Brain, Image size 240x240, Image width 240 mm, 1.00 mm slice spacing, Slice index 44, Axial view
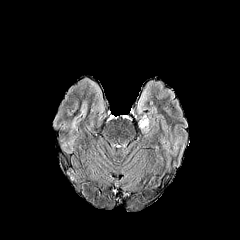
FLAIR magnetic resonance.
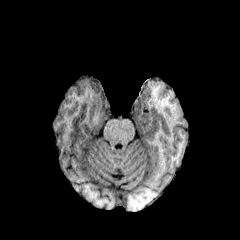
Same slice, T1-weighted MR.
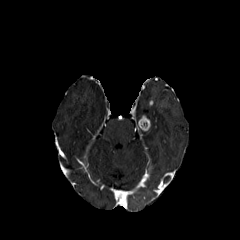
Post-contrast T1-weighted MRI.
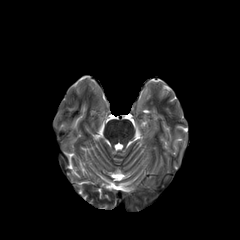
T2-weighted MRI.
<segmentation>
  <enhancing_tumor>[138, 115, 150, 131]</enhancing_tumor>
</segmentation>